Image width 240 mm; Brain
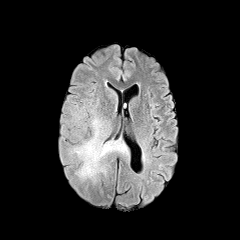
FLAIR MRI.
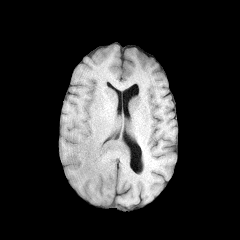
T1-weighted MR.
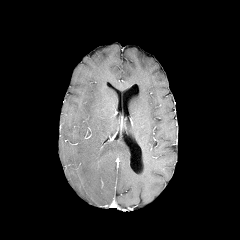
Post-contrast T1-weighted MR image.
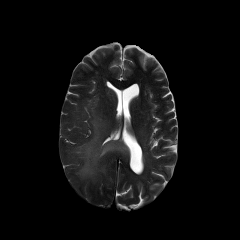
Same slice, T2-weighted magnetic resonance.
Annotated regions:
- peritumoral edema: 71, 108, 128, 181